Image width 240 mm, Axial slice, Brain, Slice index 59
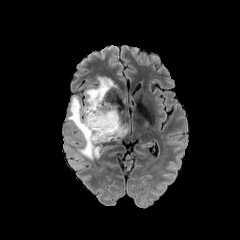
FLAIR MR image.
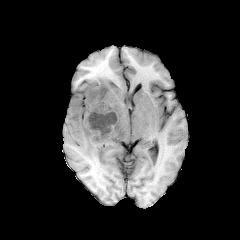
Same slice, T1-weighted MR image.
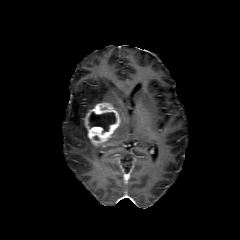
Post-contrast T1-weighted magnetic resonance.
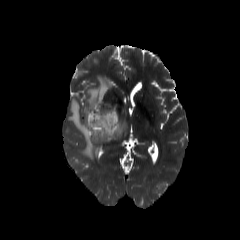
T2-weighted MR image of the same slice.
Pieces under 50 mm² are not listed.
{
  "necrotic_tumor_core": [
    "box=[89, 112, 115, 131]"
  ],
  "enhancing_tumor": [
    "box=[84, 102, 120, 146]"
  ],
  "peritumoral_edema": [
    "box=[67, 76, 113, 159]",
    "box=[109, 119, 125, 140]"
  ]
}